Axial plane. 240x240 px.
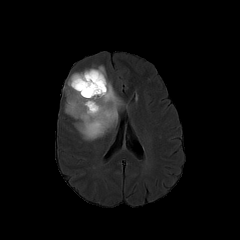
FLAIR MRI.
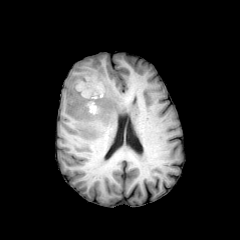
T1-weighted MRI.
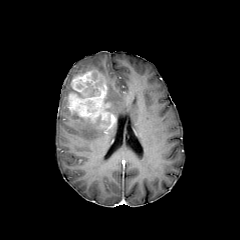
Post-contrast T1-weighted magnetic resonance.
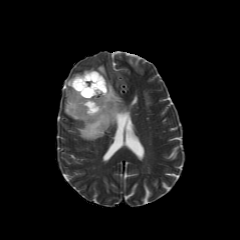
T2-weighted MR image.
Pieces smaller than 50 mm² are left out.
The largest enhancing tumor region is bounded by region(67, 70, 116, 127). The largest necrotic tumor core region appears at region(74, 86, 100, 97). The peritumoral edema lies within region(64, 65, 123, 140).